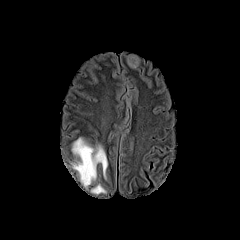
FLAIR MR image.
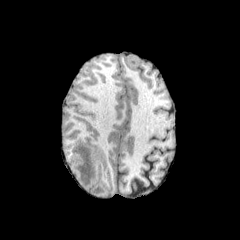
T1-weighted magnetic resonance.
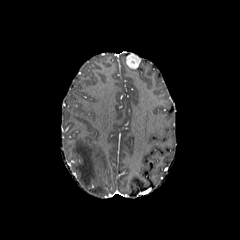
Post-contrast T1-weighted MR of the same slice.
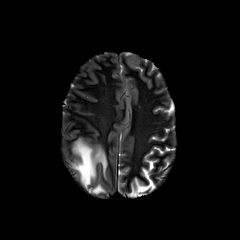
T2-weighted MR image of the same slice.
Head
* peritumoral edema: l=92, t=184, r=105, b=193; l=72, t=138, r=107, b=186